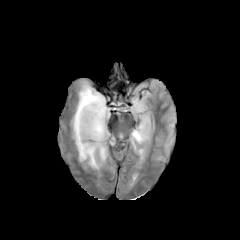
FLAIR MR.
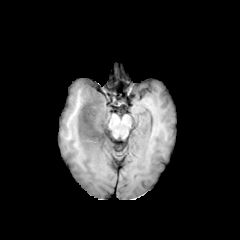
T1-weighted MRI of the same slice.
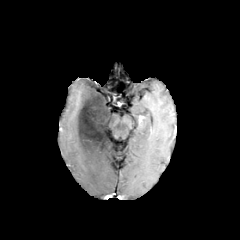
Post-contrast T1-weighted MR image of the same slice.
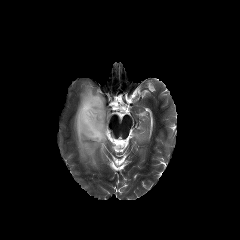
T2-weighted MR image.
Axial view
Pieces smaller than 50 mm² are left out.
peritumoral edema at box(73, 85, 110, 169); box(132, 127, 148, 143)
necrotic tumor core at box(77, 92, 107, 144)